Axial view
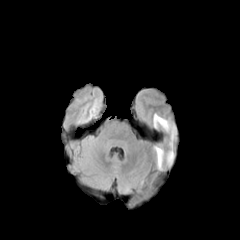
FLAIR MRI.
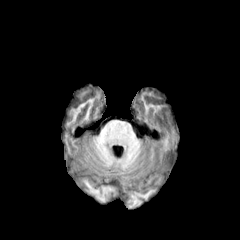
T1-weighted MRI.
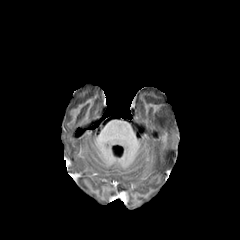
Post-contrast T1-weighted MR image.
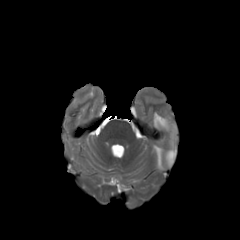
T2-weighted MR image.
<segmentation>
  <peritumoral_edema><box>153,114,175,169</box></peritumoral_edema>
</segmentation>